240x240; Brain
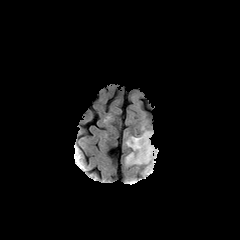
FLAIR MRI.
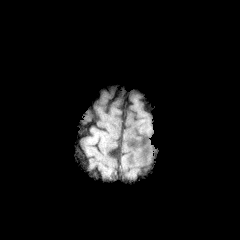
T1-weighted magnetic resonance of the same slice.
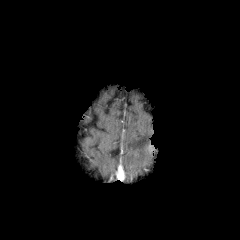
Same slice, post-contrast T1-weighted magnetic resonance.
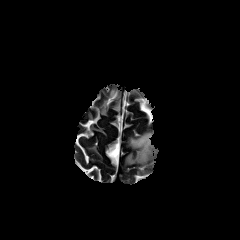
T2-weighted MR.
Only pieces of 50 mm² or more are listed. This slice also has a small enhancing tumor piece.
Findings:
• peritumoral edema: box(125, 131, 153, 164)